FLAIR MRI.
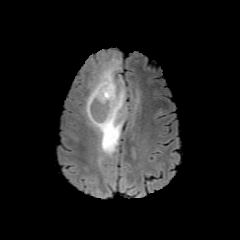
T1-weighted MR image.
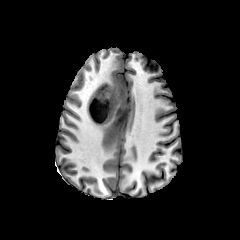
Post-contrast T1-weighted MR.
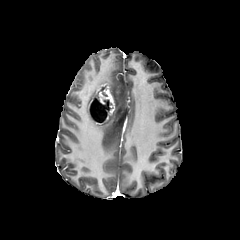
T2-weighted MR.
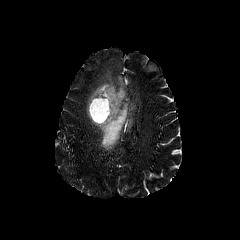
Head.
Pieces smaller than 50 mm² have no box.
The largest enhancing tumor region is at x1=88, y1=86, x2=114, y2=124. The largest peritumoral edema region lies within x1=86, y1=59, x2=127, y2=155. The largest necrotic tumor core region is bounded by x1=89, y1=98, x2=112, y2=122.